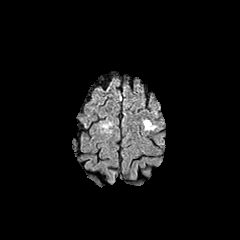
FLAIR MR image.
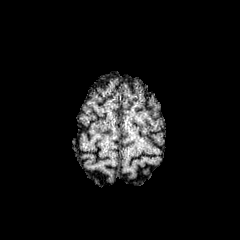
Same slice, T1-weighted MRI.
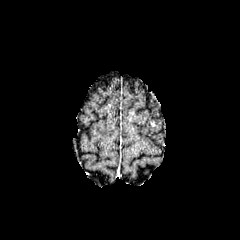
Post-contrast T1-weighted magnetic resonance.
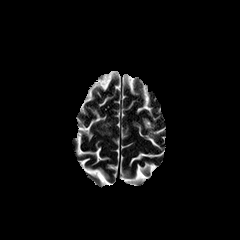
T2-weighted MRI of the same slice.
Brain.
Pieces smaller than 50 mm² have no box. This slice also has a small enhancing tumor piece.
peritumoral edema: bbox(101, 122, 112, 130); bbox(143, 119, 156, 130)